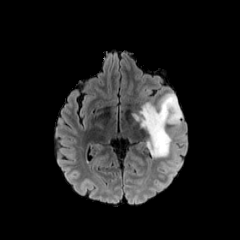
FLAIR MRI.
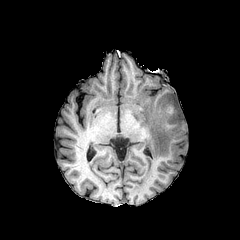
Same slice, T1-weighted MR image.
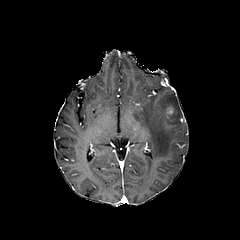
Same slice, post-contrast T1-weighted MR image.
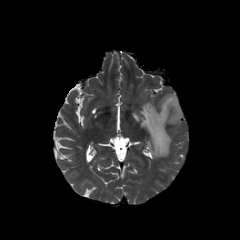
T2-weighted magnetic resonance.
Axial plane. 240x240.
peritumoral_edema:
  - [130,93,182,157]
enhancing_tumor:
  - [164,105,174,117]